FLAIR MRI.
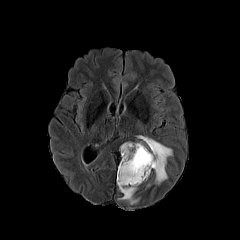
T1-weighted magnetic resonance.
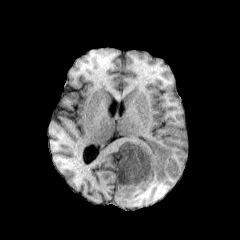
Post-contrast T1-weighted MR.
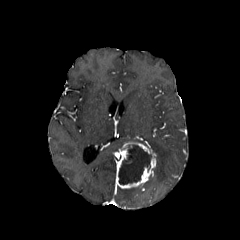
T2-weighted MR.
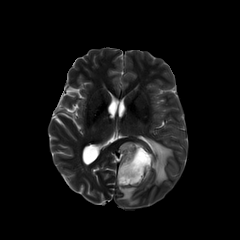
necrotic tumor core — left=118, top=145, right=151, bottom=184
peritumoral edema — left=140, top=136, right=172, bottom=184; left=118, top=187, right=138, bottom=204
enhancing tumor — left=116, top=142, right=156, bottom=188